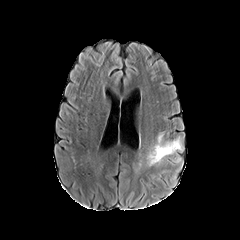
FLAIR MR.
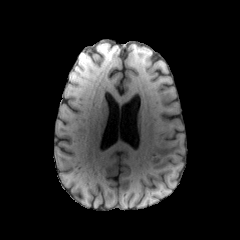
T1-weighted MR image of the same slice.
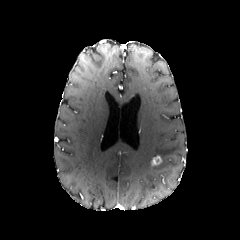
Same slice, post-contrast T1-weighted magnetic resonance.
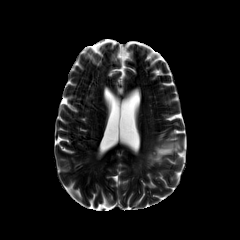
T2-weighted MRI.
Head
enhancing tumor: bounding box [151,156,161,165]
peritumoral edema: bounding box [146,132,184,166]